FLAIR MR.
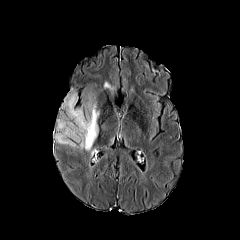
T1-weighted MRI.
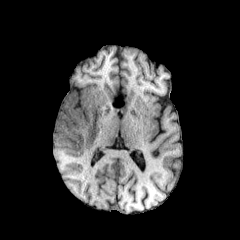
Post-contrast T1-weighted MR.
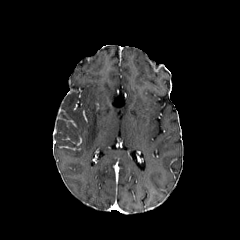
T2-weighted MR image.
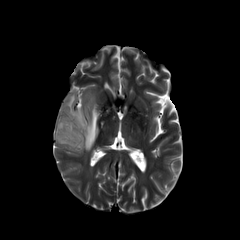
peritumoral edema: <box>103,81,114,92</box>, <box>55,93,100,151</box>